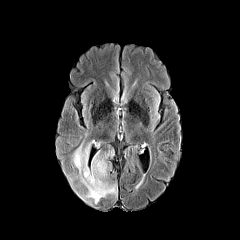
FLAIR MRI.
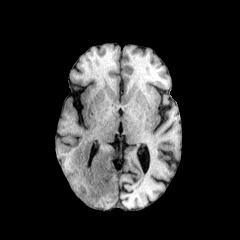
T1-weighted MRI.
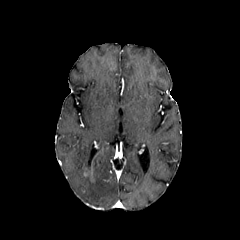
Post-contrast T1-weighted MR image.
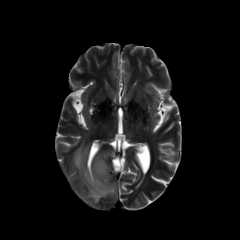
T2-weighted MRI.
240x240. Axial slice.
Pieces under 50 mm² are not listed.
The largest enhancing tumor region lies within (x1=84, y1=163, x2=92, y2=176). The peritumoral edema is bounded by (x1=69, y1=142, x2=117, y2=203).